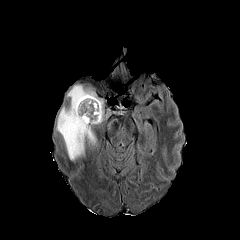
FLAIR MRI.
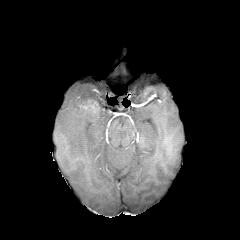
T1-weighted MR.
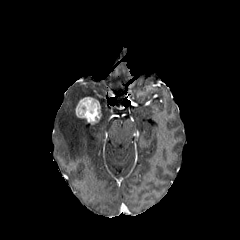
Post-contrast T1-weighted MR of the same slice.
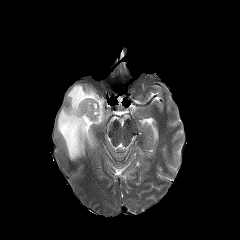
T2-weighted MRI.
Axial slice
Findings:
- peritumoral edema: (56, 84, 109, 160)
- enhancing tumor: (75, 97, 101, 124)